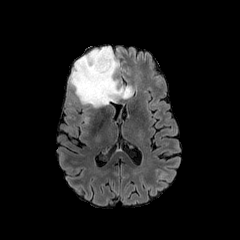
FLAIR magnetic resonance.
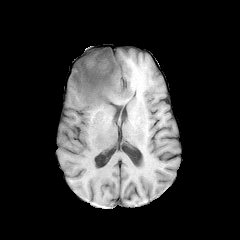
T1-weighted MR.
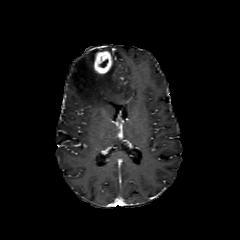
Post-contrast T1-weighted magnetic resonance.
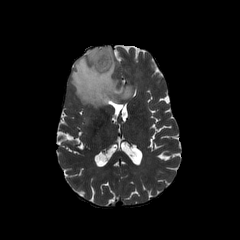
T2-weighted MR image of the same slice.
Head | Axial view | 240x240
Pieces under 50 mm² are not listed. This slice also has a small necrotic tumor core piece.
enhancing tumor — box(93, 51, 112, 73)
peritumoral edema — box(69, 47, 133, 107)